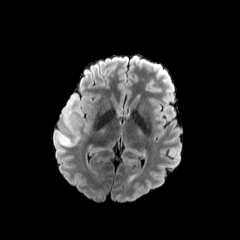
FLAIR MR.
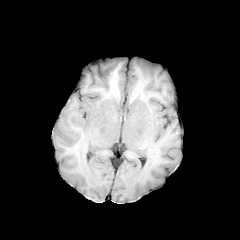
Same slice, T1-weighted MRI.
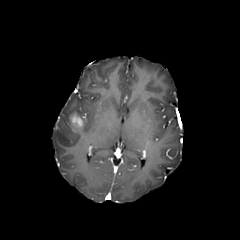
Same slice, post-contrast T1-weighted MR image.
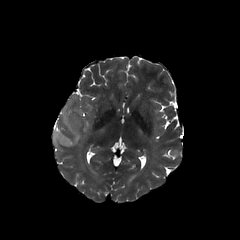
T2-weighted MR image.
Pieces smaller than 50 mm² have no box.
<segmentation>
  <enhancing_tumor>box=[69, 112, 83, 131]</enhancing_tumor>
  <peritumoral_edema>box=[60, 101, 79, 146]</peritumoral_edema>
</segmentation>